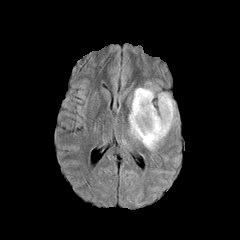
FLAIR magnetic resonance.
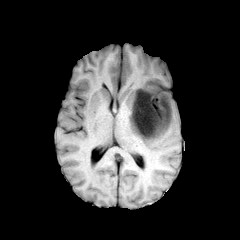
T1-weighted MRI of the same slice.
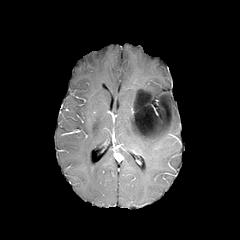
Post-contrast T1-weighted MR.
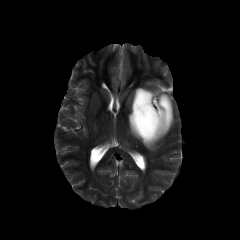
Same slice, T2-weighted magnetic resonance.
Axial slice
peritumoral edema: bounding box 128 87 175 150
enhancing tumor: bounding box 137 129 158 137, 155 96 171 130, 133 91 153 128
necrotic tumor core: bounding box 134 93 169 135